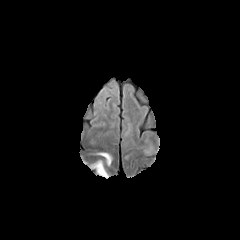
FLAIR magnetic resonance.
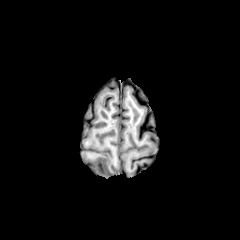
T1-weighted MR.
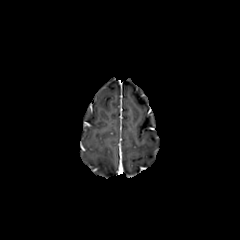
Same slice, post-contrast T1-weighted MR.
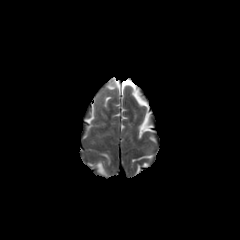
T2-weighted MR image of the same slice.
Brain
Findings:
- peritumoral edema: {"x1": 99, "y1": 153, "x2": 111, "y2": 165}, {"x1": 93, "y1": 161, "x2": 109, "y2": 176}